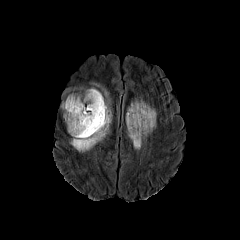
FLAIR MR image.
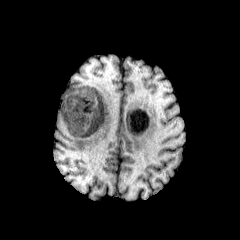
T1-weighted MRI.
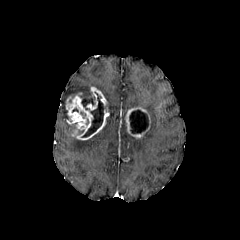
Post-contrast T1-weighted MR image.
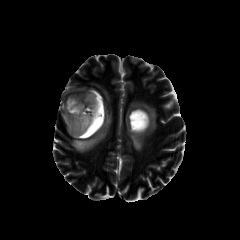
T2-weighted magnetic resonance.
Head
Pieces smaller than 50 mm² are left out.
{"enhancing_tumor": ["(125,106,150,138)", "(65,87,109,140)"], "peritumoral_edema": ["(70,106,111,152)", "(128,100,156,150)", "(92,83,109,103)", "(62,102,68,119)"], "necrotic_tumor_core": ["(81,92,94,109)", "(129,109,148,133)", "(82,93,103,137)"]}